Axial slice | Slice 52/155 | Image covers 240 mm x 240 mm
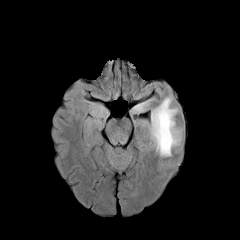
FLAIR MR.
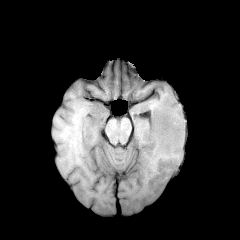
T1-weighted magnetic resonance.
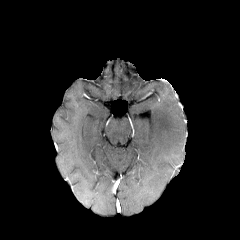
Post-contrast T1-weighted MRI.
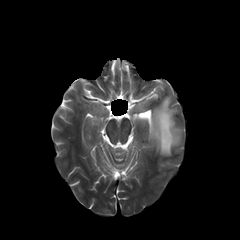
T2-weighted magnetic resonance.
2 peritumoral edema regions are located at [x1=130, y1=98, x2=154, y2=114], [x1=148, y1=97, x2=180, y2=156].